Slice 90/155; Image width 240 mm, 1.00 mm slice spacing; Axial plane
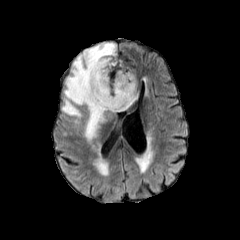
FLAIR MR image.
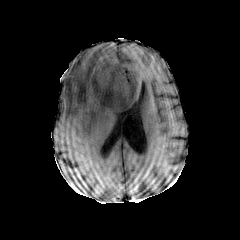
T1-weighted MR image.
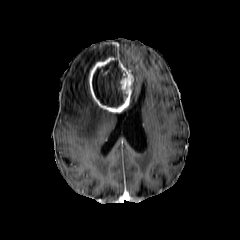
Post-contrast T1-weighted MR image of the same slice.
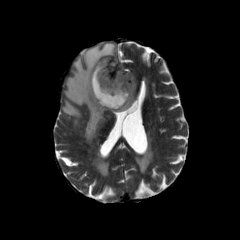
Same slice, T2-weighted MR image.
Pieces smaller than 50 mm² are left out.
Annotated regions:
- necrotic tumor core: bbox(92, 60, 123, 106)
- enhancing tumor: bbox(88, 57, 133, 112)
- peritumoral edema: bbox(61, 42, 120, 140); bbox(130, 76, 137, 105)